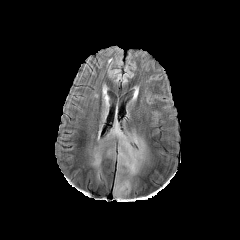
FLAIR magnetic resonance.
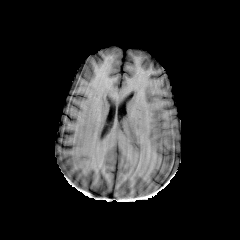
Same slice, T1-weighted MR image.
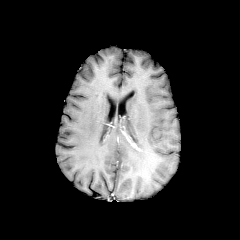
Post-contrast T1-weighted MR.
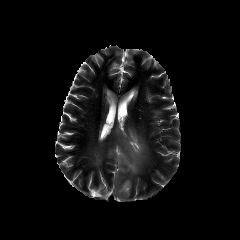
T2-weighted MR image.
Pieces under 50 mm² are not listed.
peritumoral edema: {"x1": 113, "y1": 125, "x2": 144, "y2": 173}